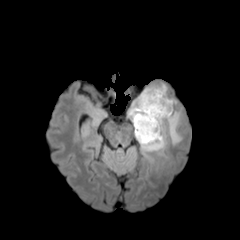
FLAIR MR image.
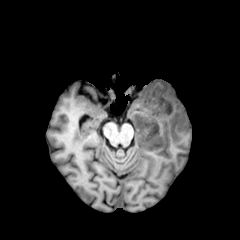
T1-weighted MR.
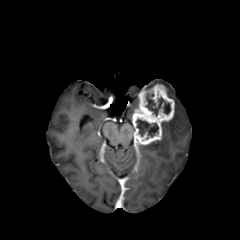
Post-contrast T1-weighted MRI.
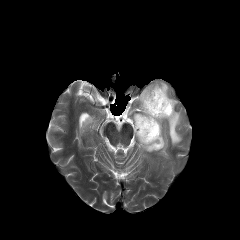
T2-weighted MR image.
Brain. Axial view.
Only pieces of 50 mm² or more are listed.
{
  "peritumoral_edema": [
    "rect(128, 99, 138, 119)",
    "rect(139, 110, 181, 153)"
  ],
  "enhancing_tumor": [
    "rect(132, 84, 174, 144)"
  ],
  "necrotic_tumor_core": [
    "rect(136, 119, 158, 136)",
    "rect(146, 93, 170, 115)"
  ]
}